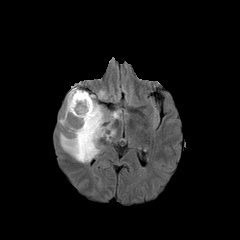
FLAIR MR image.
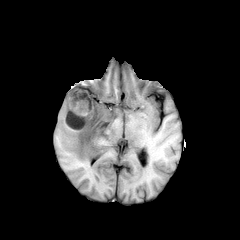
T1-weighted magnetic resonance.
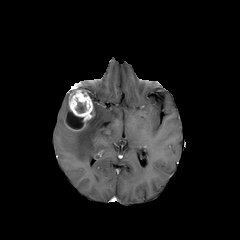
Post-contrast T1-weighted MRI of the same slice.
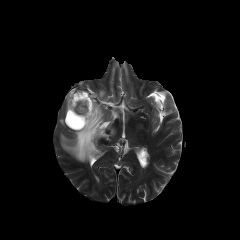
T2-weighted MR of the same slice.
Image size 240x240. Head.
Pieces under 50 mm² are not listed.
enhancing tumor: {"x1": 64, "y1": 87, "x2": 94, "y2": 131} | peritumoral edema: {"x1": 60, "y1": 94, "x2": 121, "y2": 162}, {"x1": 59, "y1": 94, "x2": 68, "y2": 125}, {"x1": 97, "y1": 90, "x2": 107, "y2": 99} | necrotic tumor core: {"x1": 76, "y1": 103, "x2": 85, "y2": 112}, {"x1": 66, "y1": 111, "x2": 83, "y2": 129}